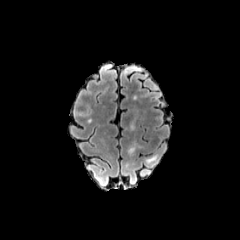
FLAIR MRI.
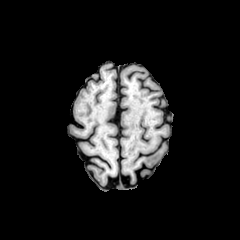
Same slice, T1-weighted MR.
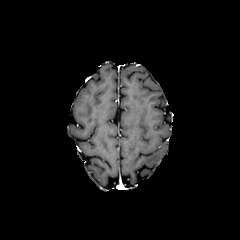
Post-contrast T1-weighted MRI.
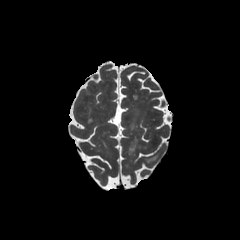
T2-weighted MR.
Brain, Axial plane
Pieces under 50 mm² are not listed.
{
  "peritumoral_edema": [
    "bbox(146, 155, 157, 162)",
    "bbox(127, 146, 135, 157)"
  ]
}